FLAIR MR image.
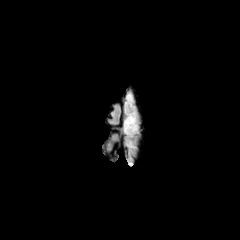
T1-weighted MRI.
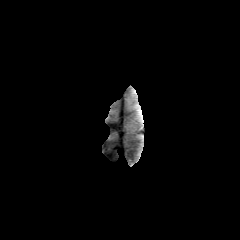
Post-contrast T1-weighted MR image.
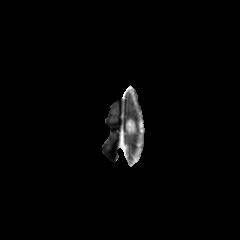
T2-weighted magnetic resonance.
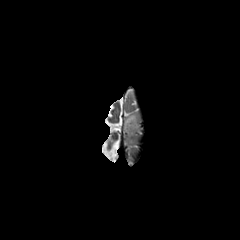
Brain. Axial plane. 240x240 px.
Findings:
- peritumoral edema: 124, 94, 137, 146
- enhancing tumor: 126, 119, 135, 134